FLAIR MR image.
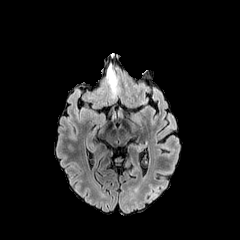
T1-weighted magnetic resonance.
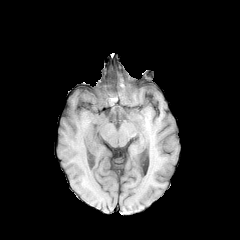
Post-contrast T1-weighted MRI.
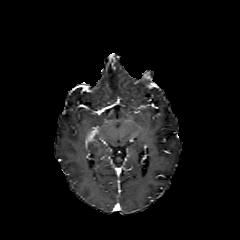
T2-weighted MRI.
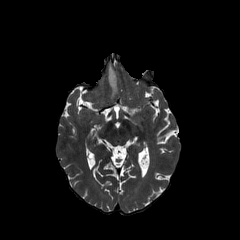
Axial plane, Head
The peritumoral edema lies within <bbox>108, 65, 118, 96</bbox>.